Head, Slice index 130
FLAIR MR image.
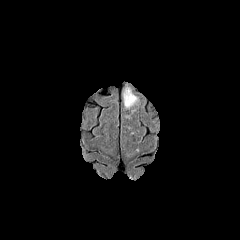
T1-weighted MR.
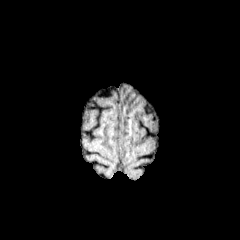
Post-contrast T1-weighted magnetic resonance.
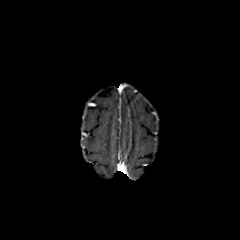
T2-weighted MR.
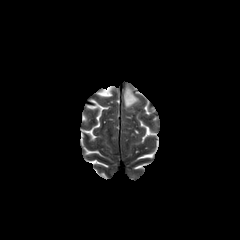
<segmentation>
  <peritumoral_edema>bbox=[123, 87, 138, 107]</peritumoral_edema>
</segmentation>